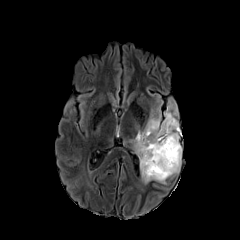
FLAIR MR image.
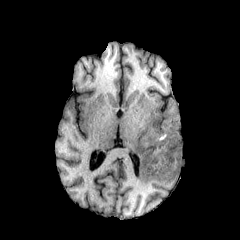
Same slice, T1-weighted MR image.
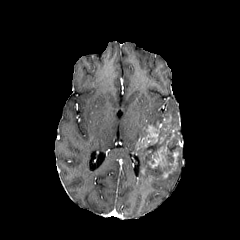
Same slice, post-contrast T1-weighted MRI.
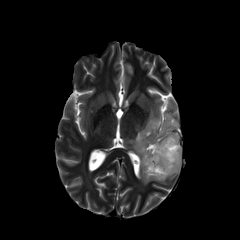
T2-weighted MR.
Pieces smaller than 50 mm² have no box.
{"necrotic_tumor_core": ["165, 130, 180, 165", "137, 121, 173, 180"], "peritumoral_edema": ["168, 155, 180, 177", "164, 104, 179, 129", "130, 112, 161, 152"], "enhancing_tumor": ["136, 122, 161, 150", "167, 128, 178, 139", "148, 140, 178, 178"]}